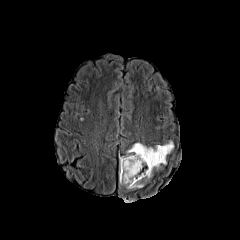
FLAIR MR image.
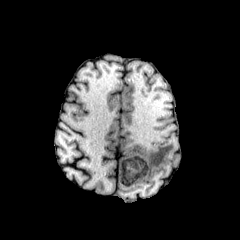
T1-weighted MR.
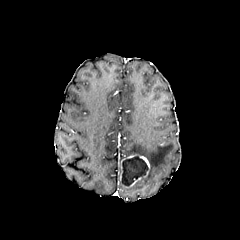
Post-contrast T1-weighted magnetic resonance.
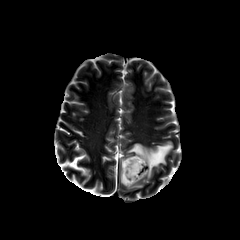
T2-weighted MRI.
Brain.
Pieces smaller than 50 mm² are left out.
enhancing tumor: 120:154:150:187
peritumoral edema: 126:141:173:179, 126:182:143:189
necrotic tumor core: 122:156:147:186